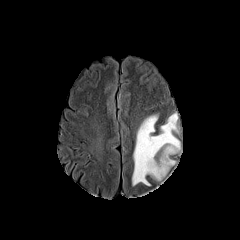
FLAIR MRI.
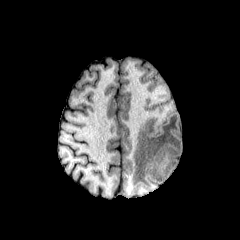
T1-weighted magnetic resonance.
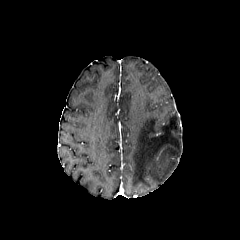
Post-contrast T1-weighted magnetic resonance of the same slice.
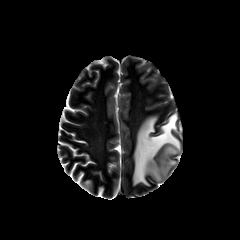
Same slice, T2-weighted MRI.
The peritumoral edema lies within 132 113 180 185.